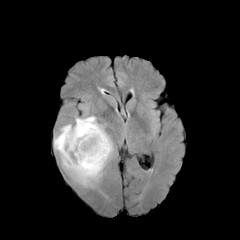
FLAIR MRI.
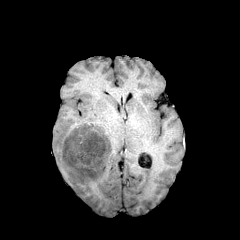
T1-weighted magnetic resonance.
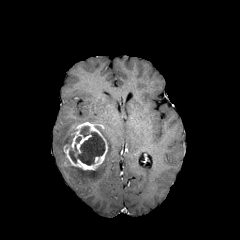
Post-contrast T1-weighted MR image of the same slice.
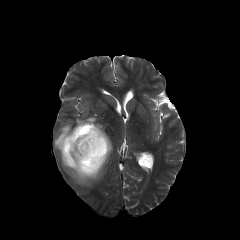
T2-weighted magnetic resonance.
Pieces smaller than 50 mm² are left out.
Findings:
* enhancing tumor: l=62, t=122, r=108, b=170
* peritumoral edema: l=54, t=116, r=113, b=186
* necrotic tumor core: l=69, t=126, r=104, b=165